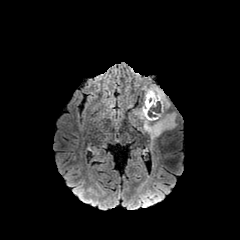
FLAIR MRI.
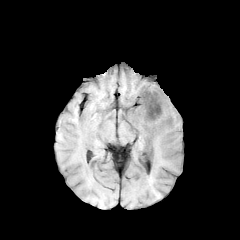
T1-weighted MRI.
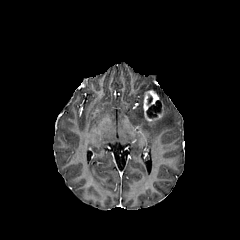
Post-contrast T1-weighted magnetic resonance.
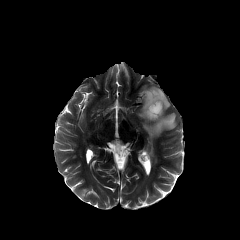
Same slice, T2-weighted MRI.
Image size 240x240, Brain
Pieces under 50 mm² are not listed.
enhancing_tumor:
  - (x1=143, y1=90, x2=163, y2=121)
necrotic_tumor_core:
  - (x1=146, y1=110, x2=157, y2=118)
  - (x1=151, y1=102, x2=161, y2=113)
peritumoral_edema:
  - (x1=135, y1=85, x2=176, y2=140)